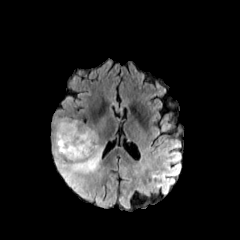
FLAIR MRI.
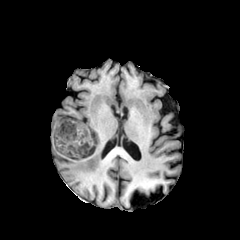
T1-weighted magnetic resonance.
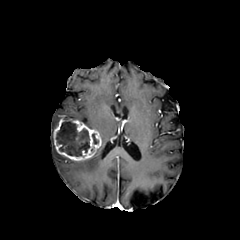
Post-contrast T1-weighted MR image.
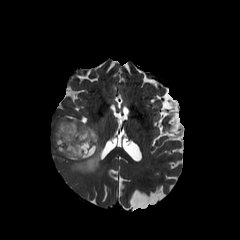
T2-weighted MR.
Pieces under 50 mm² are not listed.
The enhancing tumor is at rect(53, 116, 101, 160). The 2 largest peritumoral edema regions are located at rect(51, 116, 104, 201); rect(89, 114, 108, 133). The largest necrotic tumor core region lies within rect(56, 121, 89, 156).